Slice 75/155; 240x240; Axial slice
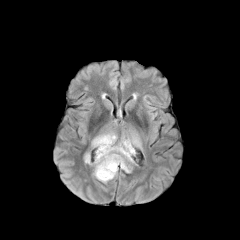
FLAIR MRI.
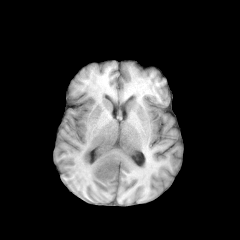
T1-weighted MRI.
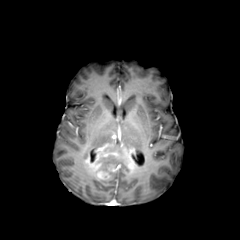
Post-contrast T1-weighted magnetic resonance of the same slice.
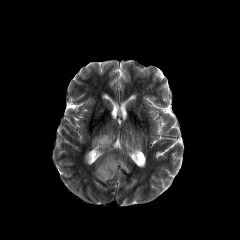
Same slice, T2-weighted MR.
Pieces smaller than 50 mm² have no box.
The 2 largest peritumoral edema regions appear at bbox=[100, 171, 116, 182]; bbox=[92, 133, 141, 172]. The 2 largest enhancing tumor regions are bounded by bbox=[120, 143, 135, 169]; bbox=[86, 143, 119, 179].